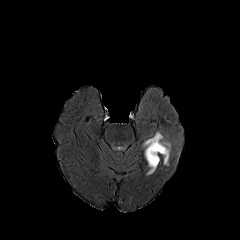
FLAIR MRI.
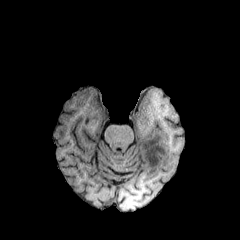
T1-weighted MR image of the same slice.
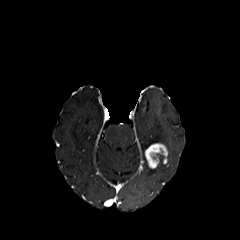
Post-contrast T1-weighted MR image.
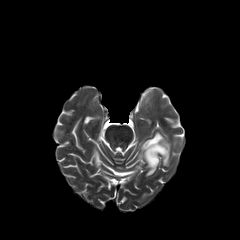
T2-weighted MR.
240x240 px
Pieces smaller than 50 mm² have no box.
- peritumoral edema: bbox=[143, 131, 171, 163]
- enhancing tumor: bbox=[145, 143, 167, 168]